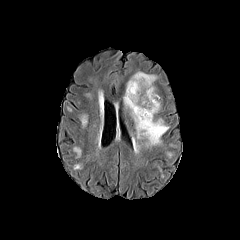
FLAIR MRI.
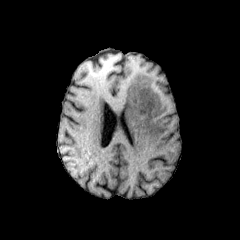
T1-weighted magnetic resonance.
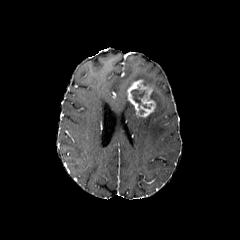
Post-contrast T1-weighted MR.
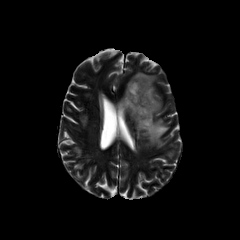
T2-weighted magnetic resonance of the same slice.
240x240 px; Head
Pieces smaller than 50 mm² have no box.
{"necrotic_tumor_core": ["131:89:144:104"], "peritumoral_edema": ["123:71:169:146"], "enhancing_tumor": ["127:79:155:117"]}